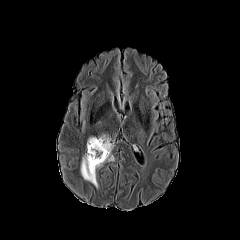
FLAIR MR.
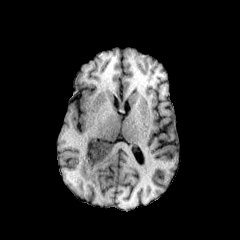
Same slice, T1-weighted MRI.
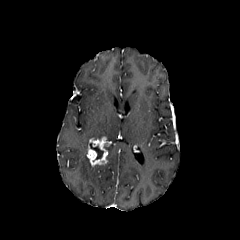
Same slice, post-contrast T1-weighted MRI.
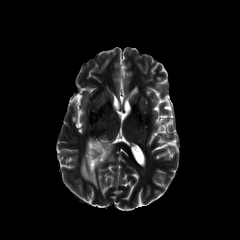
T2-weighted MR image.
240x240 px.
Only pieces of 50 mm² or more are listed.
necrotic tumor core: bounding box <bbox>90, 143, 103, 159</bbox>
peritumoral edema: bounding box <bbox>107, 144, 114, 161</bbox>, <bbox>81, 154, 102, 188</bbox>
enhancing tumor: bounding box <bbox>87, 136, 110, 167</bbox>